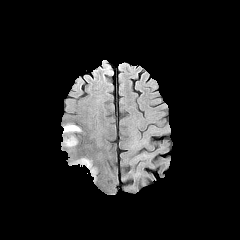
FLAIR MR.
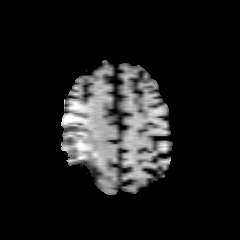
T1-weighted MR of the same slice.
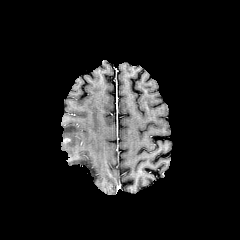
Post-contrast T1-weighted MRI.
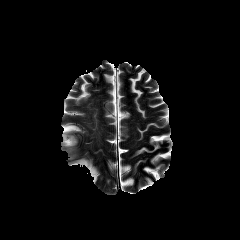
T2-weighted magnetic resonance.
Brain
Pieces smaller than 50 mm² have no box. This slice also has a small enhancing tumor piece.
peritumoral edema: (left=63, top=124, right=81, bottom=133), (left=63, top=135, right=77, bottom=147), (left=72, top=158, right=97, bottom=180)